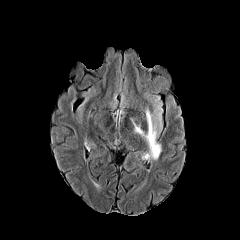
FLAIR magnetic resonance.
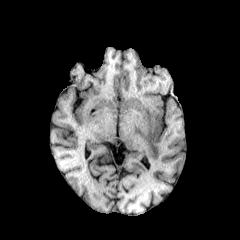
T1-weighted MR of the same slice.
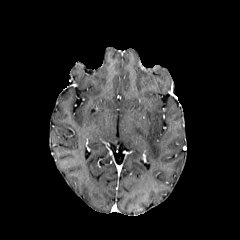
Post-contrast T1-weighted magnetic resonance.
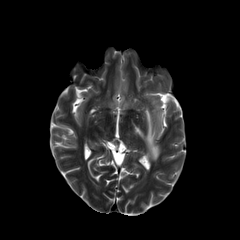
T2-weighted MR image.
Brain.
peritumoral edema at l=133, t=106, r=161, b=160